Brain | Slice 87/155
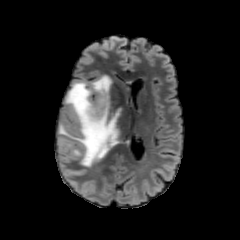
FLAIR MRI.
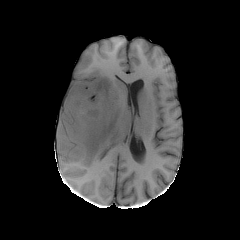
T1-weighted MR image of the same slice.
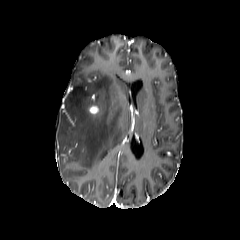
Post-contrast T1-weighted MR of the same slice.
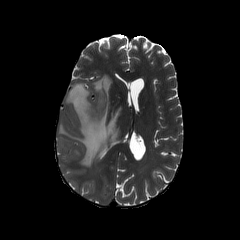
T2-weighted MR.
peritumoral edema: bounding box [x1=58, y1=75, x2=121, y2=166]
enhancing tumor: bounding box [x1=88, y1=105, x2=99, y2=114]